Image width 240 mm, 1.00 mm slice spacing, Head, Slice 76 of 155, Image size 240x240, Axial plane
FLAIR magnetic resonance.
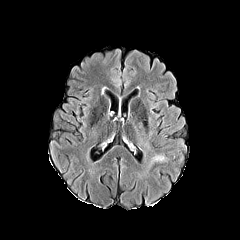
T1-weighted MR image.
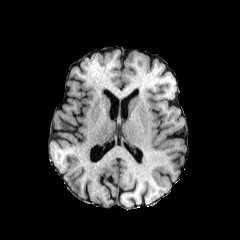
Post-contrast T1-weighted MR.
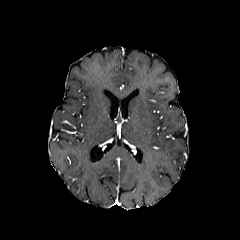
T2-weighted magnetic resonance.
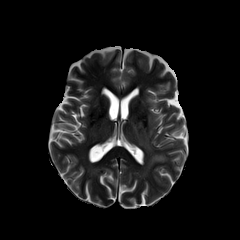
peritumoral edema: bounding box <box>148,155,165,167</box>